FLAIR MR image.
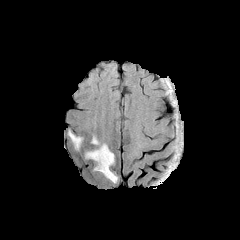
T1-weighted magnetic resonance.
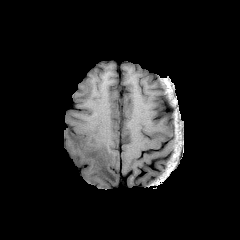
Post-contrast T1-weighted MR.
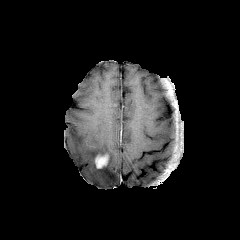
T2-weighted magnetic resonance.
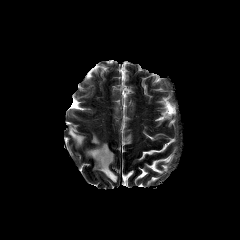
Axial plane
Findings:
- enhancing tumor: 95:154:108:168
- peritumoral edema: 68:130:83:149, 85:136:117:182